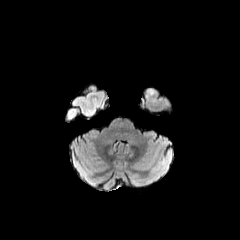
FLAIR MR.
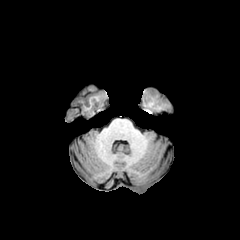
T1-weighted MRI.
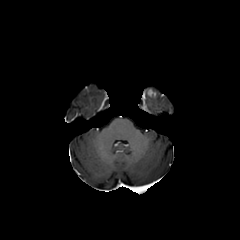
Post-contrast T1-weighted MRI of the same slice.
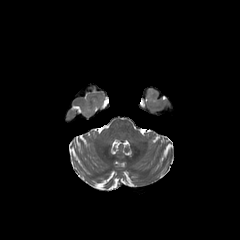
T2-weighted MR.
Axial slice.
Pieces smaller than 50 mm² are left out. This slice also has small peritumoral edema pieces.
enhancing tumor: 147, 89, 156, 97